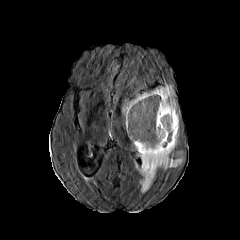
FLAIR MR.
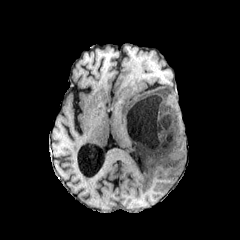
T1-weighted magnetic resonance of the same slice.
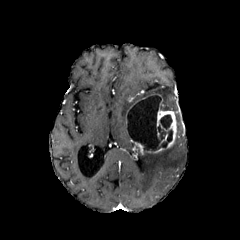
Same slice, post-contrast T1-weighted MRI.
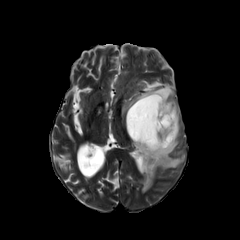
Same slice, T2-weighted magnetic resonance.
Axial plane
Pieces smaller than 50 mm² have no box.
The 2 largest necrotic tumor core regions are located at (127,95,172,151), (160,114,172,129). The 2 largest enhancing tumor regions appear at (130,98,176,155), (125,96,147,127). The largest peritumoral edema region is bounded by (122,84,183,192).